Axial plane, Image size 240x240
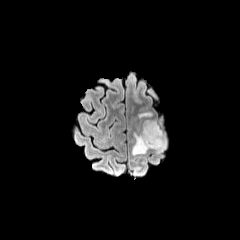
FLAIR MR image.
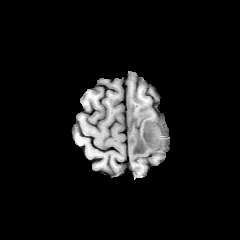
T1-weighted MRI of the same slice.
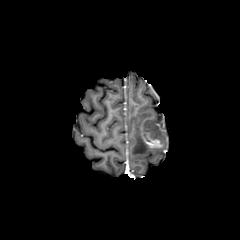
Post-contrast T1-weighted MR image.
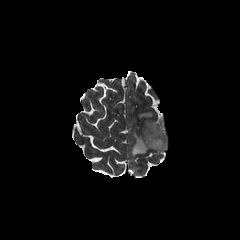
T2-weighted MR.
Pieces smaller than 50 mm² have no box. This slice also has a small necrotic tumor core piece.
peritumoral edema at (x1=138, y1=112, x2=152, y2=118), (x1=132, y1=120, x2=166, y2=155)
enhancing tumor at (x1=144, y1=134, x2=164, y2=148)